Head | Slice index 94
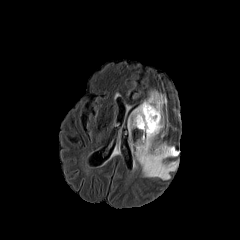
FLAIR MR image.
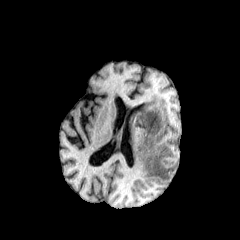
Same slice, T1-weighted MR.
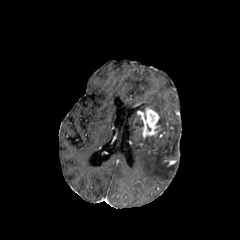
Same slice, post-contrast T1-weighted MRI.
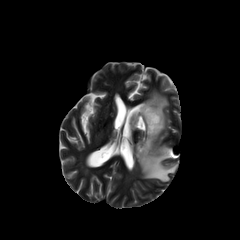
Same slice, T2-weighted MR.
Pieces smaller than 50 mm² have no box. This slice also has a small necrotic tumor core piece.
enhancing tumor — [137, 107, 159, 138]
peritumoral edema — [129, 91, 178, 180]